FLAIR MR image.
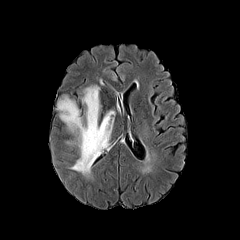
T1-weighted MR image.
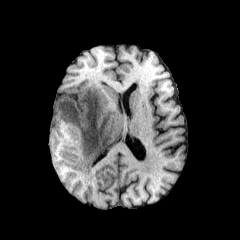
Post-contrast T1-weighted MRI.
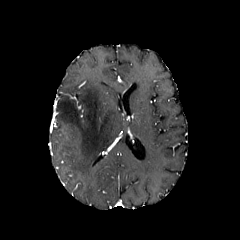
T2-weighted magnetic resonance.
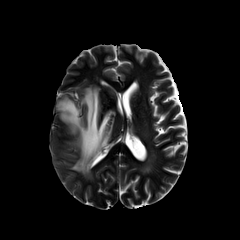
240x240 px
peritumoral edema: box(57, 86, 115, 174)